FLAIR MR.
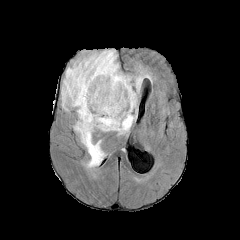
T1-weighted MR image.
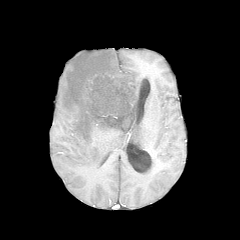
Post-contrast T1-weighted MR image.
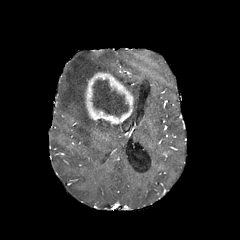
T2-weighted MRI.
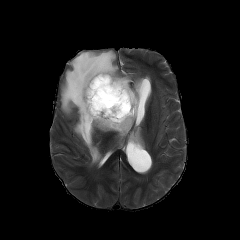
240x240; Axial slice
{"peritumoral_edema": ["box=[61, 50, 151, 167]"], "necrotic_tumor_core": ["box=[92, 79, 128, 116]"], "enhancing_tumor": ["box=[85, 72, 134, 127]"]}